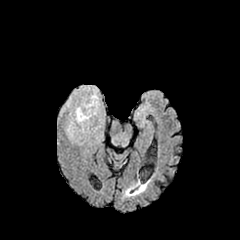
FLAIR magnetic resonance.
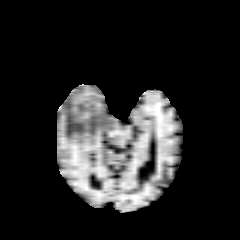
T1-weighted MRI of the same slice.
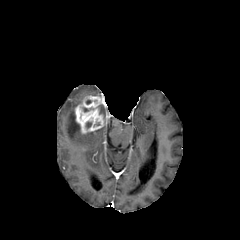
Post-contrast T1-weighted magnetic resonance.
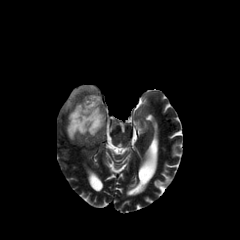
Same slice, T2-weighted magnetic resonance.
Axial plane; 240x240 px
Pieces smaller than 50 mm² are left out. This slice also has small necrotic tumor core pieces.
peritumoral edema = left=67, top=112, right=81, bottom=140; left=70, top=86, right=97, bottom=100
enhancing tumor = left=74, top=95, right=108, bottom=134